240x240 px. Image covers 240 mm x 240 mm.
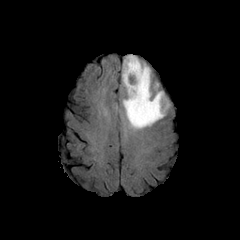
FLAIR MRI.
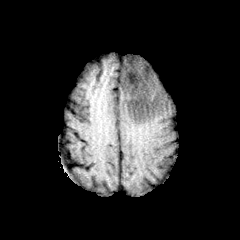
T1-weighted MR of the same slice.
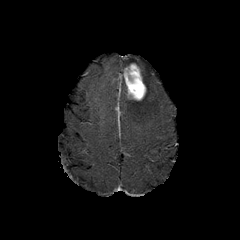
Post-contrast T1-weighted magnetic resonance of the same slice.
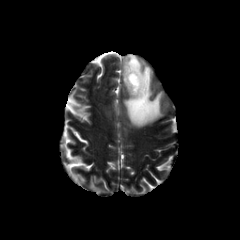
T2-weighted MRI of the same slice.
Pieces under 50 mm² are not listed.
enhancing tumor: bounding box region(123, 63, 146, 100)
peritumoral edema: bounding box region(122, 55, 168, 128)